FLAIR MR.
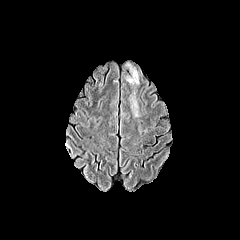
T1-weighted magnetic resonance.
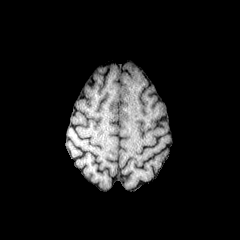
Post-contrast T1-weighted MRI.
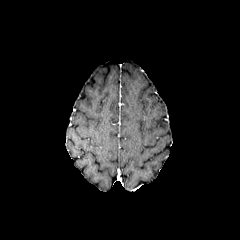
T2-weighted MRI.
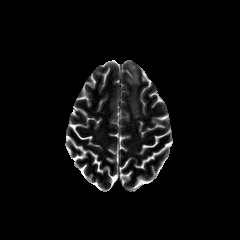
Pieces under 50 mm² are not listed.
<segmentation>
  <peritumoral_edema>[x1=127, y1=70, x2=138, y2=83]</peritumoral_edema>
</segmentation>